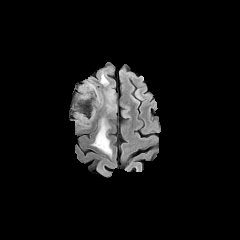
FLAIR magnetic resonance.
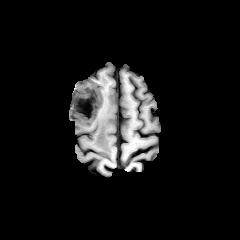
T1-weighted MR.
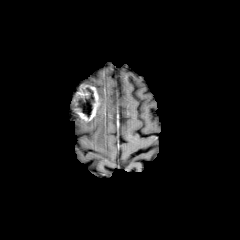
Same slice, post-contrast T1-weighted MR.
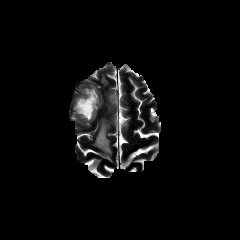
Same slice, T2-weighted MR image.
240x240
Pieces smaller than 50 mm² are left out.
Annotated regions:
* necrotic tumor core: 78:87:94:117
* enhancing tumor: 74:83:100:122
* peritumoral edema: 100:74:108:85, 93:119:111:155, 107:89:116:111